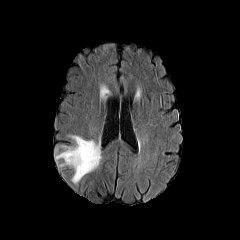
FLAIR magnetic resonance.
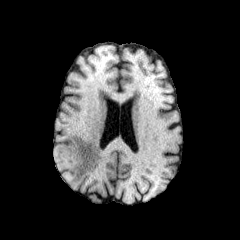
T1-weighted MR image of the same slice.
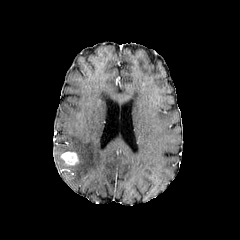
Post-contrast T1-weighted MR image of the same slice.
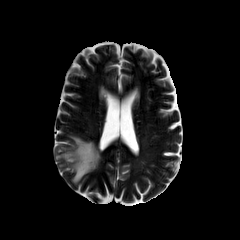
T2-weighted magnetic resonance.
240x240
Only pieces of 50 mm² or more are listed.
<segmentation>
  <enhancing_tumor>box(61, 152, 78, 165)</enhancing_tumor>
  <peritumoral_edema>box(55, 135, 101, 183)</peritumoral_edema>
</segmentation>